FLAIR MR image.
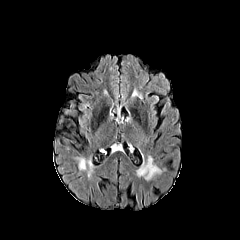
T1-weighted MR image.
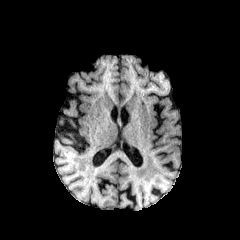
Post-contrast T1-weighted MR.
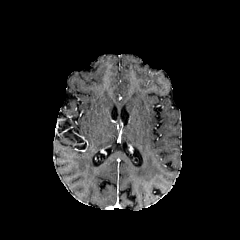
T2-weighted magnetic resonance.
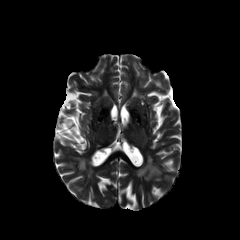
Head. Axial plane.
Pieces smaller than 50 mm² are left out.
peritumoral edema — left=132, top=89, right=142, bottom=98